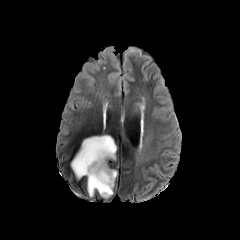
FLAIR MR image.
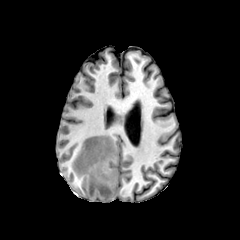
T1-weighted MR image.
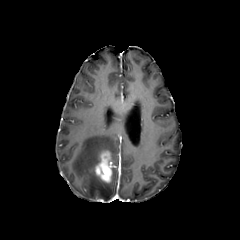
Post-contrast T1-weighted MR.
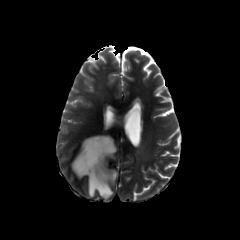
Same slice, T2-weighted magnetic resonance.
240x240 px. Axial plane. Head.
Segmented structures:
• peritumoral edema: (71,135,117,198)
• enhancing tumor: (95,151,111,182)